FLAIR MR.
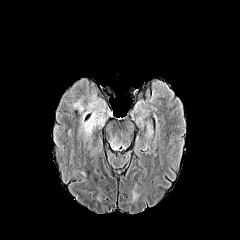
T1-weighted MRI.
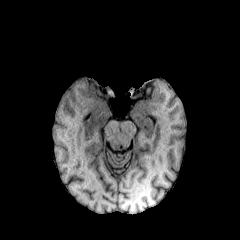
Post-contrast T1-weighted MR image.
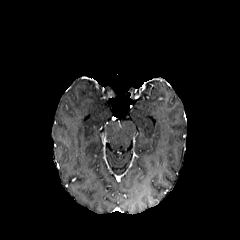
T2-weighted MRI.
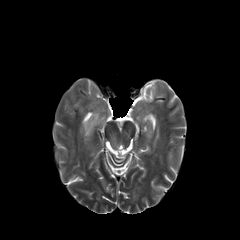
240x240
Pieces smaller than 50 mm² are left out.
peritumoral edema: bbox(80, 100, 105, 140); bbox(111, 138, 119, 150)